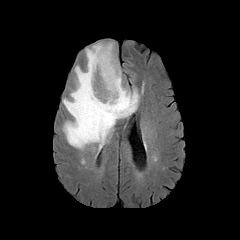
FLAIR MR image.
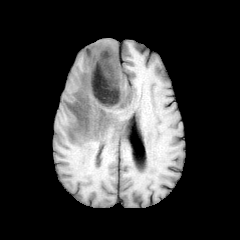
T1-weighted magnetic resonance.
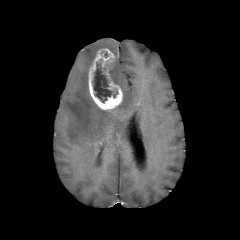
Post-contrast T1-weighted MRI.
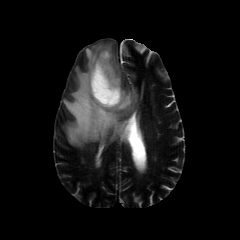
T2-weighted MRI.
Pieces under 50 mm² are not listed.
necrotic tumor core at <bbox>93, 62, 117, 102</bbox>
peritumoral edema at <bbox>62, 42, 139, 149</bbox>
enhancing tumor at <bbox>88, 48, 123, 110</bbox>